FLAIR MR.
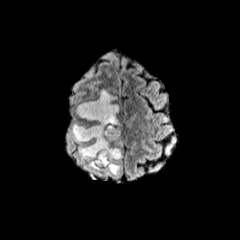
T1-weighted MR.
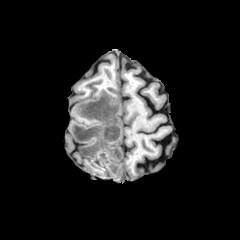
Post-contrast T1-weighted MRI.
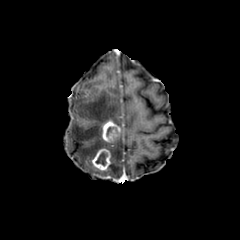
T2-weighted MR image.
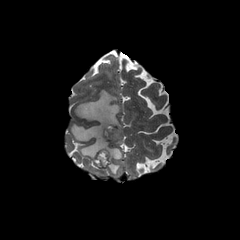
Brain. 240x240 px.
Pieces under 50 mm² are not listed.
Segmented structures:
* peritumoral edema: <bbox>71, 89, 122, 176</bbox>
* necrotic tumor core: <bbox>106, 126, 116, 135</bbox>, <bbox>95, 151, 107, 165</bbox>
* enhancing tumor: <bbox>101, 118, 120, 142</bbox>, <bbox>91, 147, 111, 170</bbox>